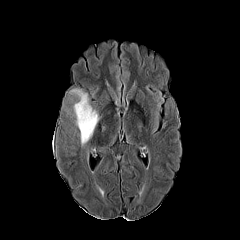
FLAIR magnetic resonance.
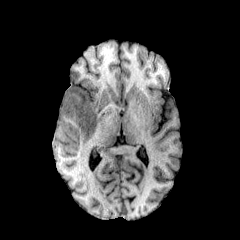
T1-weighted MRI.
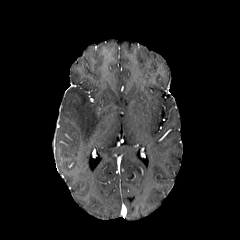
Post-contrast T1-weighted MRI of the same slice.
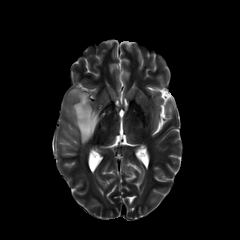
T2-weighted magnetic resonance.
Image size 240x240, Axial view
<segmentation>
  <peritumoral_edema>rect(69, 88, 101, 145)</peritumoral_edema>
</segmentation>